240x240 px
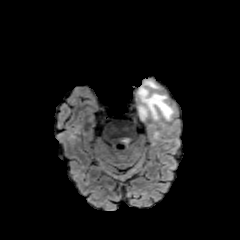
FLAIR MR image.
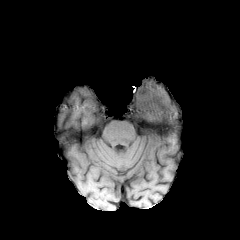
T1-weighted magnetic resonance.
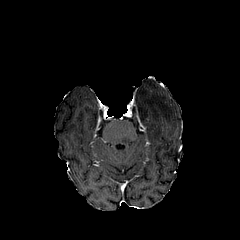
Same slice, post-contrast T1-weighted MRI.
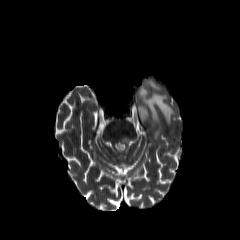
Same slice, T2-weighted MRI.
peritumoral edema = [146, 124, 159, 143], [135, 79, 175, 124], [120, 137, 130, 146]